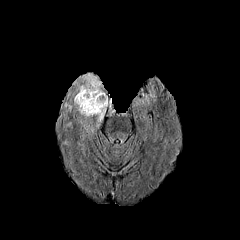
FLAIR MR.
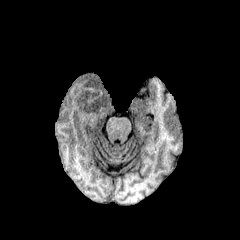
T1-weighted MR image.
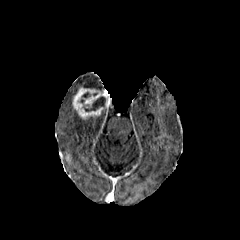
Post-contrast T1-weighted MR image of the same slice.
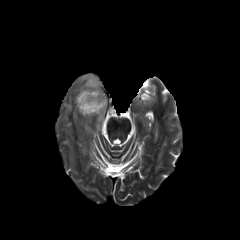
T2-weighted MRI.
240x240 px, Axial plane
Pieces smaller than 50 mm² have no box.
The 2 largest peritumoral edema regions are bounded by l=95, t=110, r=106, b=125; l=76, t=73, r=104, b=92. The enhancing tumor appears at l=72, t=87, r=111, b=119. The largest necrotic tumor core region is at l=84, t=96, r=105, b=111.